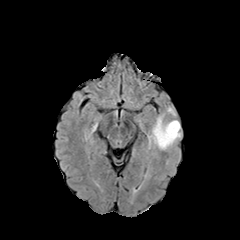
FLAIR MR image.
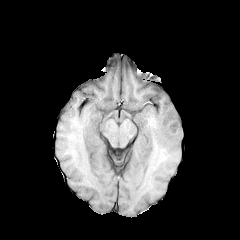
Same slice, T1-weighted MRI.
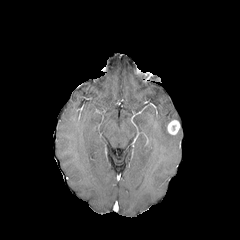
Post-contrast T1-weighted MR image.
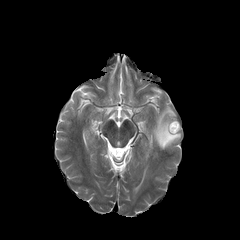
T2-weighted magnetic resonance.
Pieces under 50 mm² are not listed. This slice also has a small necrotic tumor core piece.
peritumoral edema — [148,107,181,149]
enhancing tumor — [167,120,180,135]